FLAIR MR image.
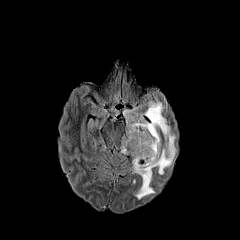
T1-weighted MR image.
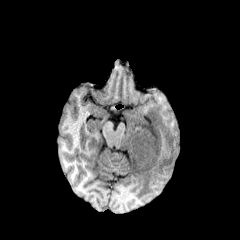
Post-contrast T1-weighted magnetic resonance.
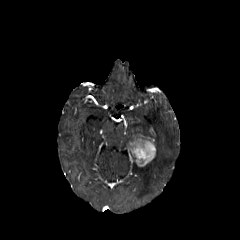
T2-weighted MR.
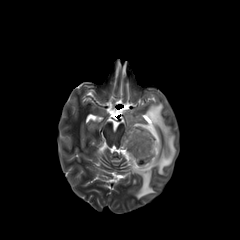
Brain. 240x240. Axial slice.
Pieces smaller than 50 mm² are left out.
peritumoral_edema:
  - 122, 101, 176, 199
enhancing_tumor:
  - 129, 134, 156, 166